Axial view
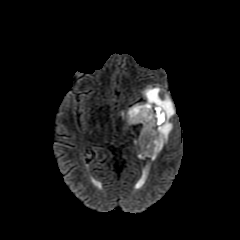
FLAIR MR.
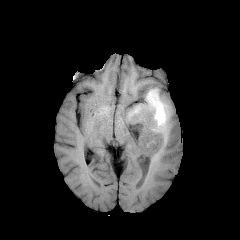
Same slice, T1-weighted MR image.
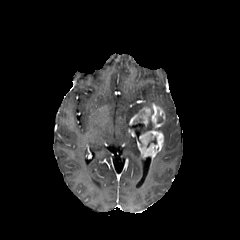
Same slice, post-contrast T1-weighted MRI.
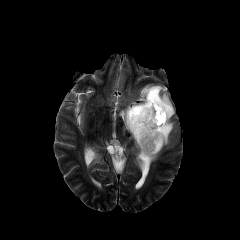
Same slice, T2-weighted MRI.
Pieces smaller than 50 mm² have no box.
peritumoral edema = box(120, 84, 175, 146)
necrotic tumor core = box(155, 109, 163, 123)
enhancing tumor = box(137, 129, 163, 159); box(129, 107, 150, 126); box(151, 103, 165, 128)